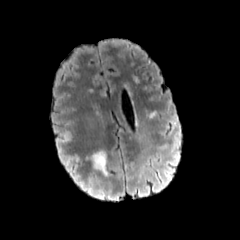
FLAIR MRI.
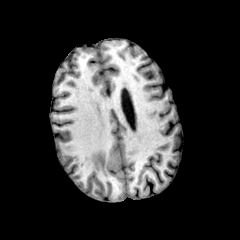
T1-weighted MR.
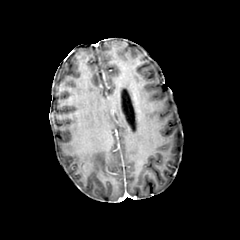
Post-contrast T1-weighted magnetic resonance of the same slice.
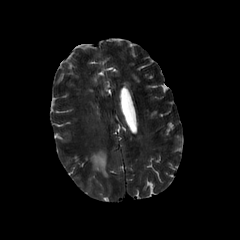
T2-weighted MR image of the same slice.
Head | Image size 240x240
peritumoral_edema:
  - {"x1": 91, "y1": 151, "x2": 107, "y2": 176}